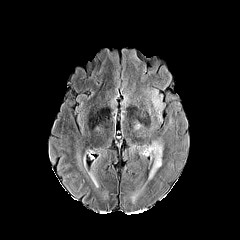
FLAIR MR image.
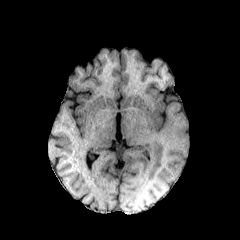
Same slice, T1-weighted magnetic resonance.
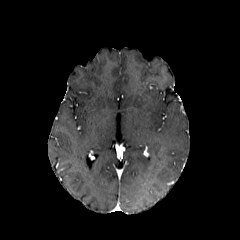
Post-contrast T1-weighted MR of the same slice.
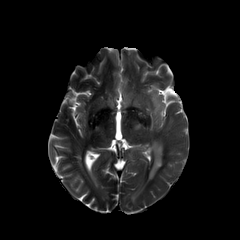
T2-weighted MR image.
240x240 px | Axial view
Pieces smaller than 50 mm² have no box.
peritumoral edema: bounding box [x1=155, y1=103, x2=162, y2=121], [x1=147, y1=140, x2=162, y2=179]